Image width 240 mm; 240x240 px; Head
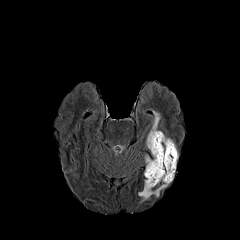
FLAIR magnetic resonance.
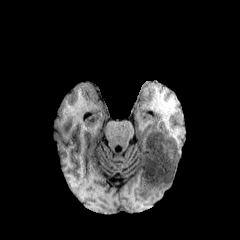
T1-weighted MRI of the same slice.
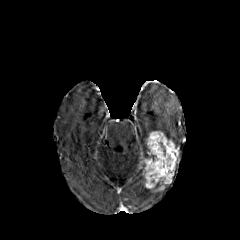
Post-contrast T1-weighted MRI.
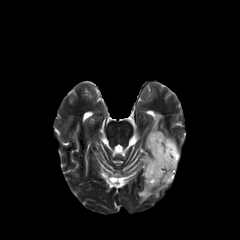
Same slice, T2-weighted magnetic resonance.
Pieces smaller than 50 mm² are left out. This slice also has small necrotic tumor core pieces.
peritumoral edema at <bbox>147, 111, 161, 137</bbox>, <bbox>138, 180, 167, 202</bbox>
enhancing tumor at <bbox>142, 131, 178, 191</bbox>